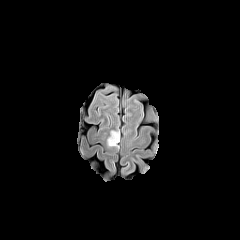
FLAIR MR image.
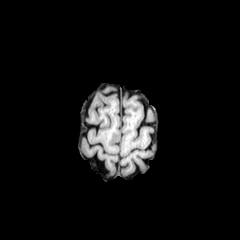
T1-weighted magnetic resonance of the same slice.
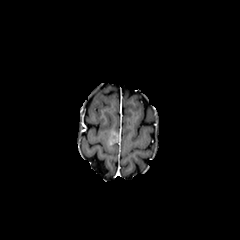
Post-contrast T1-weighted magnetic resonance.
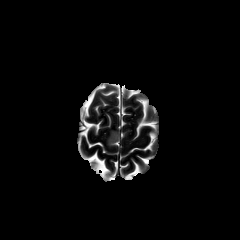
T2-weighted MR of the same slice.
Head
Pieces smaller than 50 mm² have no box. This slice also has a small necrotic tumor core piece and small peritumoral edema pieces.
The enhancing tumor is bounded by (x1=108, y1=131, x2=119, y2=145).